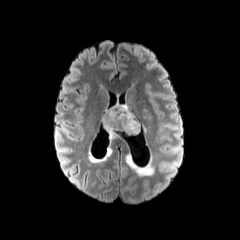
FLAIR magnetic resonance.
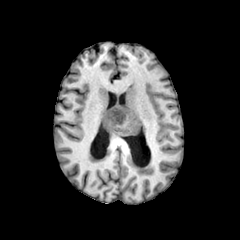
T1-weighted MR.
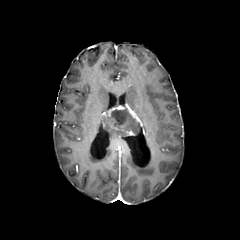
Same slice, post-contrast T1-weighted magnetic resonance.
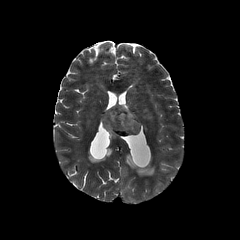
Same slice, T2-weighted magnetic resonance.
Axial slice, Brain
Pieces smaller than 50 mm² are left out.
{
  "enhancing_tumor": [
    "region(124, 103, 141, 127)",
    "region(103, 105, 136, 136)"
  ],
  "peritumoral_edema": [
    "region(102, 116, 123, 139)"
  ],
  "necrotic_tumor_core": [
    "region(111, 106, 140, 133)"
  ]
}